240x240; Brain
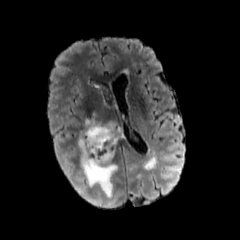
FLAIR magnetic resonance.
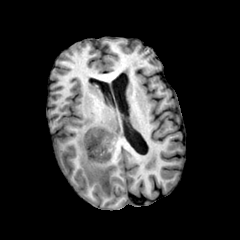
T1-weighted MR of the same slice.
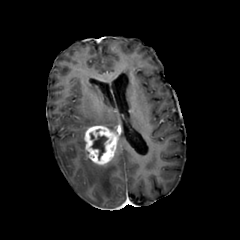
Post-contrast T1-weighted magnetic resonance.
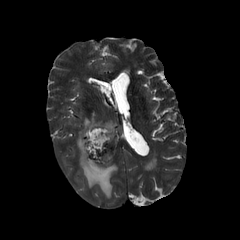
T2-weighted MR image.
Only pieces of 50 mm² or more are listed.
<segmentation>
  <necrotic_tumor_core>rect(92, 136, 107, 159)</necrotic_tumor_core>
  <enhancing_tumor>rect(84, 125, 120, 165)</enhancing_tumor>
  <peritumoral_edema>rect(85, 118, 101, 128); rect(102, 122, 115, 130); rect(77, 136, 117, 198)</peritumoral_edema>
</segmentation>